Slice 61 of 155, Image width 240 mm, 1.00 mm slice spacing, Brain
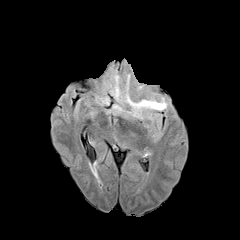
FLAIR magnetic resonance.
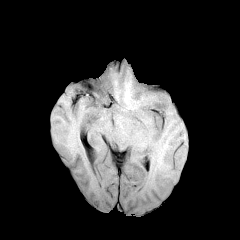
Same slice, T1-weighted MRI.
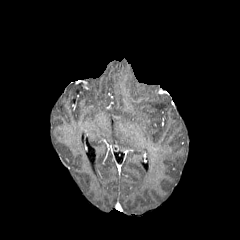
Same slice, post-contrast T1-weighted MR image.
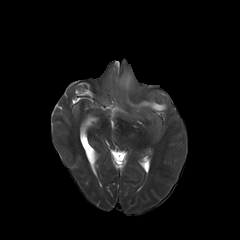
T2-weighted MR image.
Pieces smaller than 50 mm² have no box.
peritumoral edema — box(126, 94, 167, 118)